FLAIR MR image.
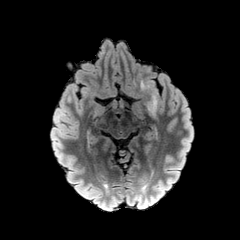
T1-weighted magnetic resonance.
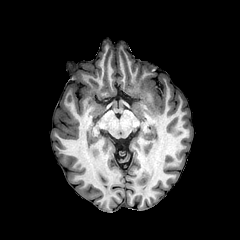
Post-contrast T1-weighted MR image.
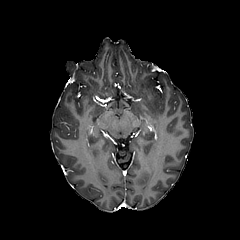
T2-weighted MRI.
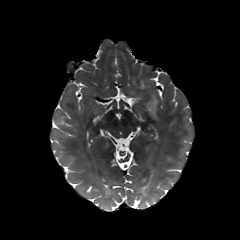
peritumoral edema at 140:80:158:116